Slice 92/155
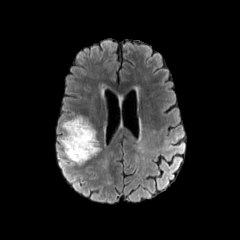
FLAIR MR image.
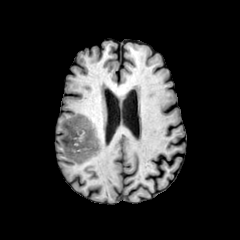
Same slice, T1-weighted MRI.
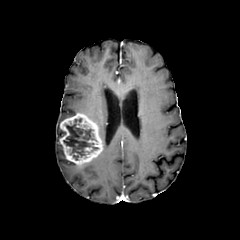
Same slice, post-contrast T1-weighted MR.
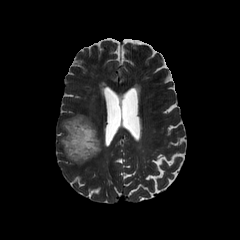
Same slice, T2-weighted MRI.
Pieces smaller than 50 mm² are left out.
{"necrotic_tumor_core": ["[x1=63, y1=118, x2=98, y2=160]"], "enhancing_tumor": ["[x1=59, y1=113, x2=102, y2=165]"]}